FLAIR MR.
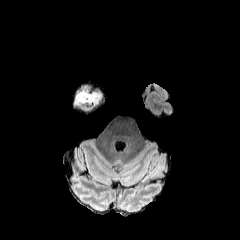
T1-weighted magnetic resonance.
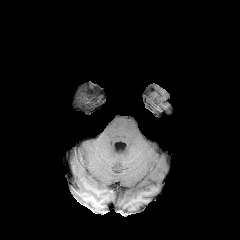
Post-contrast T1-weighted MRI.
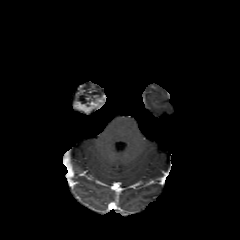
T2-weighted magnetic resonance.
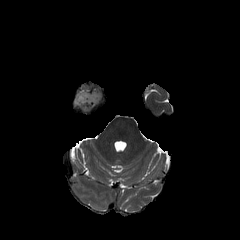
Head; 240x240
The peritumoral edema is bounded by bbox=[72, 92, 101, 111]. The enhancing tumor appears at bbox=[77, 96, 100, 113].